Slice 62/155 | Head
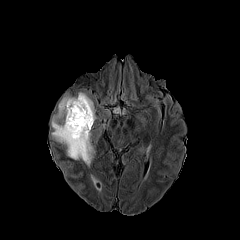
FLAIR MR.
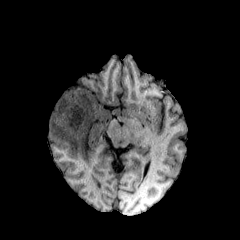
T1-weighted MR of the same slice.
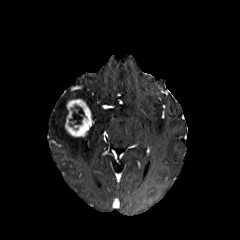
Same slice, post-contrast T1-weighted MRI.
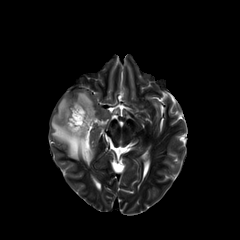
Same slice, T2-weighted MRI.
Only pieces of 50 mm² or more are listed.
The largest enhancing tumor region is bounded by box(65, 98, 93, 137). The peritumoral edema is bounded by box(51, 92, 96, 166). The necrotic tumor core is bounded by box(69, 106, 84, 126).